FLAIR MRI.
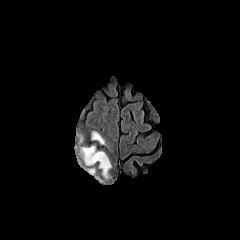
T1-weighted MRI.
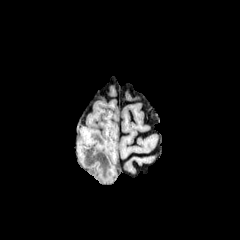
Post-contrast T1-weighted magnetic resonance.
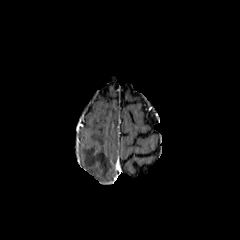
T2-weighted MR.
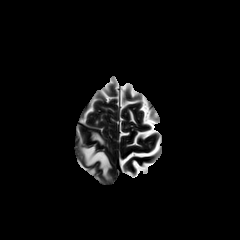
Brain. Axial plane.
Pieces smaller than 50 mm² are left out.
peritumoral edema at left=81, top=146, right=111, bottom=178; left=91, top=132, right=104, bottom=144